Image width 240 mm
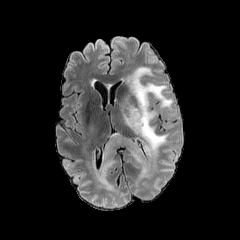
FLAIR magnetic resonance.
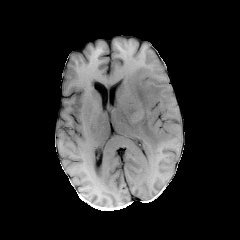
T1-weighted MRI.
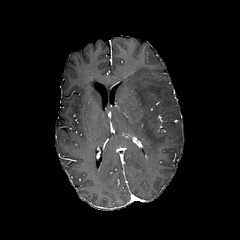
Post-contrast T1-weighted MRI of the same slice.
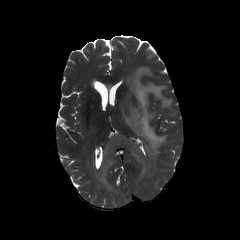
T2-weighted MR image of the same slice.
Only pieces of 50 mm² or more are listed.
{
  "peritumoral_edema": [
    "(102, 134, 144, 175)",
    "(119, 66, 172, 157)"
  ]
}